FLAIR MR.
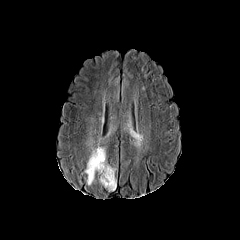
T1-weighted MR.
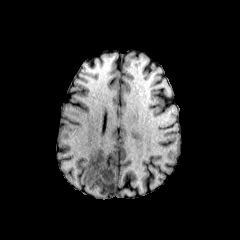
Post-contrast T1-weighted MRI.
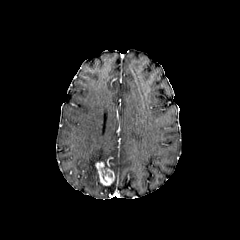
T2-weighted MRI.
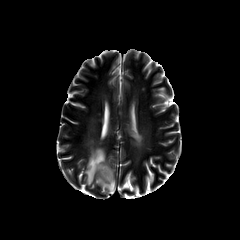
Brain
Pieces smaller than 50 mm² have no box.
peritumoral_edema:
  - box(104, 178, 116, 190)
  - box(129, 129, 143, 144)
  - box(85, 146, 115, 185)
enhancing_tumor:
  - box(95, 161, 114, 185)